FLAIR MRI.
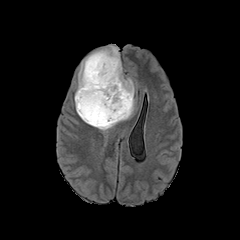
T1-weighted MR.
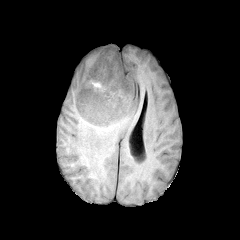
Post-contrast T1-weighted MR image.
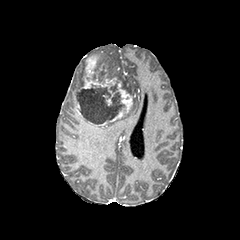
T2-weighted magnetic resonance.
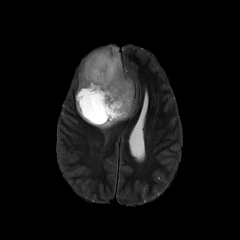
Image size 240x240; Axial slice
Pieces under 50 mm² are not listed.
peritumoral edema — (74, 45, 135, 131)
necrotic tumor core — (77, 86, 125, 123)
enhancing tumor — (76, 55, 132, 125), (103, 94, 111, 105)